FLAIR MR.
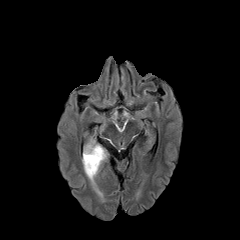
T1-weighted MRI.
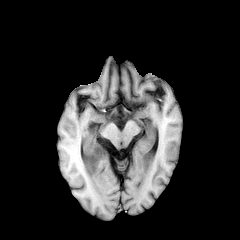
Post-contrast T1-weighted MR.
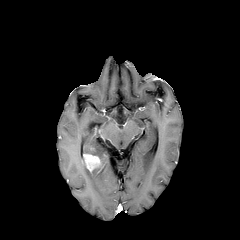
T2-weighted MR image.
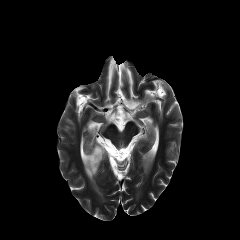
Axial view, Image size 240x240
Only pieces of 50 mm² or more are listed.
enhancing tumor — (83, 153, 100, 172)
peritumoral edema — (83, 137, 108, 164), (83, 163, 102, 196)